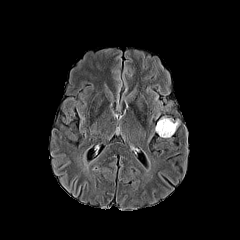
FLAIR magnetic resonance.
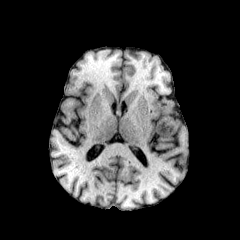
T1-weighted MR image of the same slice.
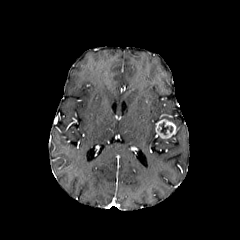
Same slice, post-contrast T1-weighted MR.
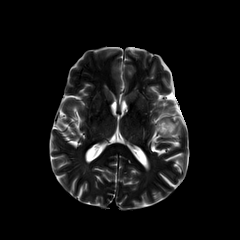
T2-weighted MR.
Head
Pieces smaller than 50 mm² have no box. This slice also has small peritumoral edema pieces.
The enhancing tumor is at 155,119,176,138. The necrotic tumor core appears at 159,122,172,134.